FLAIR magnetic resonance.
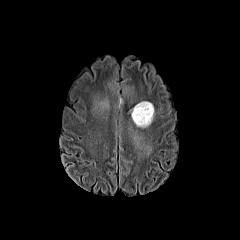
T1-weighted magnetic resonance.
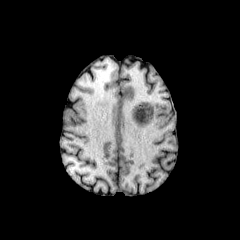
Post-contrast T1-weighted MR image.
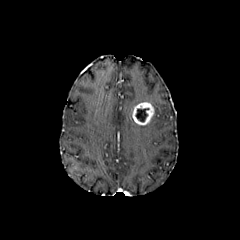
T2-weighted MRI.
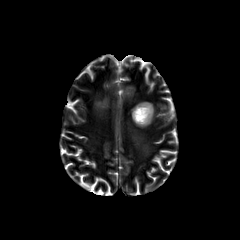
Axial plane
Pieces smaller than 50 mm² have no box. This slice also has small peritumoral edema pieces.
The necrotic tumor core appears at box(136, 108, 148, 121). The enhancing tumor is at box(132, 102, 154, 125).